FLAIR MR image.
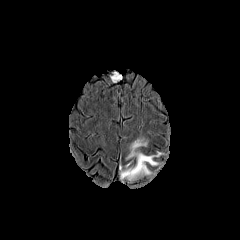
T1-weighted MR image.
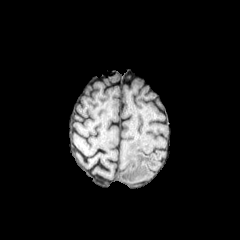
Post-contrast T1-weighted MR image.
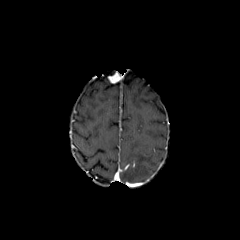
T2-weighted magnetic resonance.
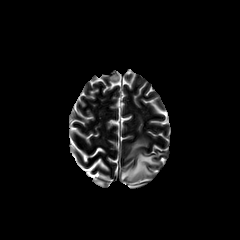
Axial plane
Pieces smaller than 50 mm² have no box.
The largest peritumoral edema region is bounded by l=120, t=139, r=161, b=181.